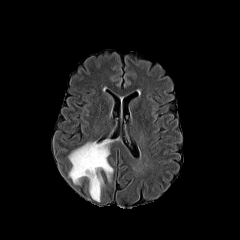
FLAIR MRI.
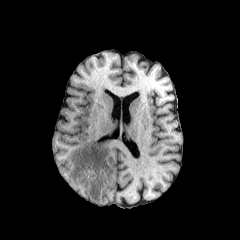
T1-weighted MR image.
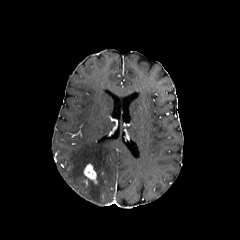
Post-contrast T1-weighted MR image of the same slice.
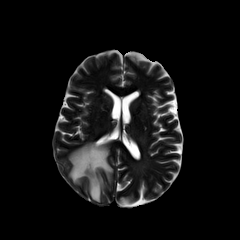
T2-weighted magnetic resonance of the same slice.
Brain
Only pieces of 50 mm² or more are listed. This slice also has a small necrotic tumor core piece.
The peritumoral edema is bounded by (left=68, top=140, right=113, bottom=201). The enhancing tumor is located at (left=83, top=163, right=97, bottom=183).